FLAIR MRI.
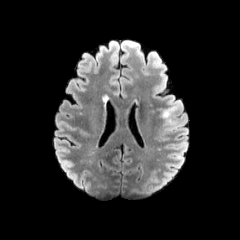
T1-weighted magnetic resonance.
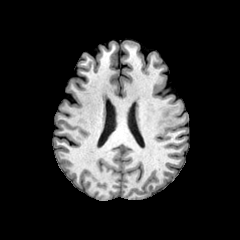
Post-contrast T1-weighted magnetic resonance.
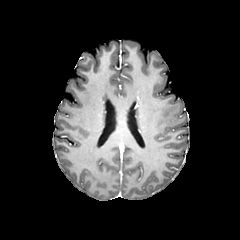
T2-weighted MRI.
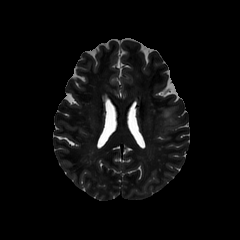
Image size 240x240. Axial view.
peritumoral edema = (left=162, top=107, right=177, bottom=125)